Slice 84/155, Image covers 240 mm x 240 mm, Brain, Axial slice, 240x240
FLAIR magnetic resonance.
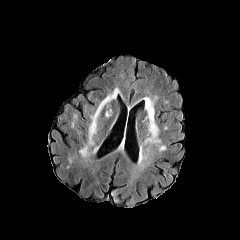
T1-weighted MR.
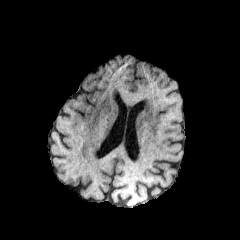
Post-contrast T1-weighted MRI.
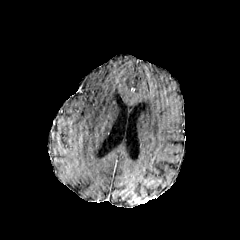
T2-weighted MR image.
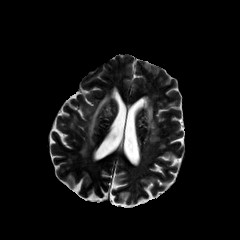
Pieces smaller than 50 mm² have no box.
peritumoral_edema:
  - 82,94,112,155